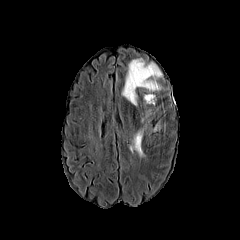
FLAIR MR image.
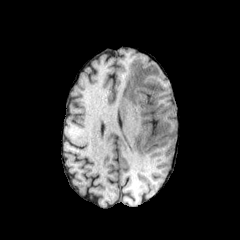
T1-weighted MRI.
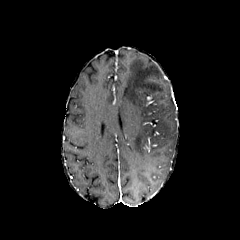
Same slice, post-contrast T1-weighted MR.
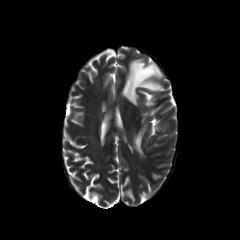
Same slice, T2-weighted MRI.
Axial plane
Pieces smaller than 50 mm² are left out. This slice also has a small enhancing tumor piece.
peritumoral edema — (130,129,144,156), (122,58,161,105)